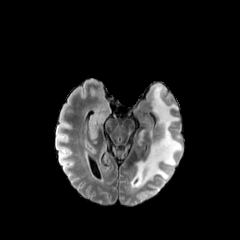
FLAIR MR.
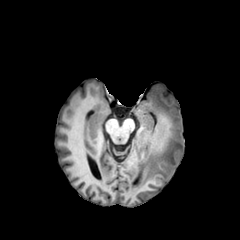
Same slice, T1-weighted MR.
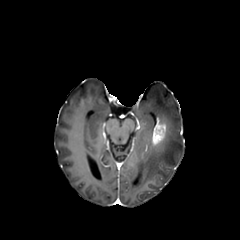
Post-contrast T1-weighted MR image.
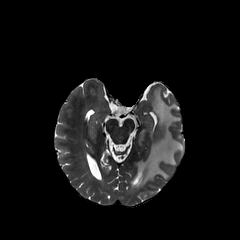
Same slice, T2-weighted MR image.
Axial plane
peritumoral edema — rect(131, 85, 183, 188); rect(138, 128, 152, 145)
enhancing tumor — rect(151, 119, 168, 146)